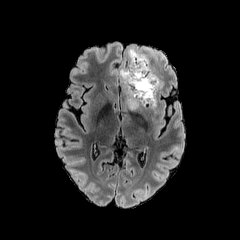
FLAIR magnetic resonance.
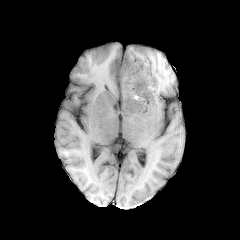
T1-weighted MR image.
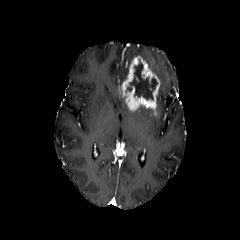
Post-contrast T1-weighted MRI.
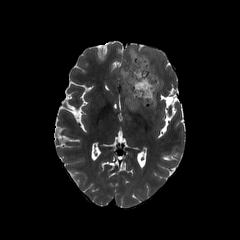
T2-weighted MRI.
240x240 px, Head, Axial view
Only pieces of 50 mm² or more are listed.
peritumoral edema: l=119, t=45, r=163, b=90
enhancing tumor: l=121, t=56, r=160, b=114
necrotic tumor core: l=126, t=60, r=157, b=99